FLAIR MRI.
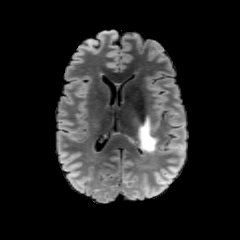
T1-weighted MR image.
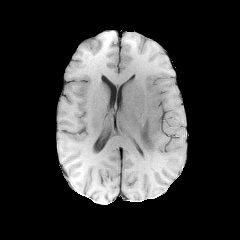
Post-contrast T1-weighted magnetic resonance.
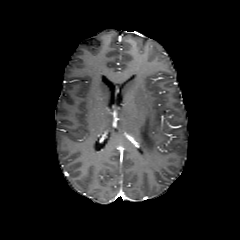
T2-weighted MR image.
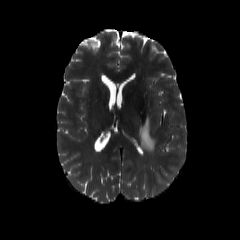
<segmentation>
  <peritumoral_edema>box=[138, 117, 157, 152]</peritumoral_edema>
</segmentation>